Head. Axial plane. Slice 117/155.
FLAIR MR.
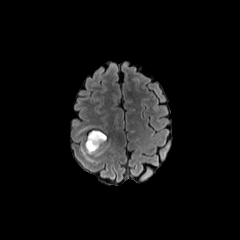
T1-weighted MR image.
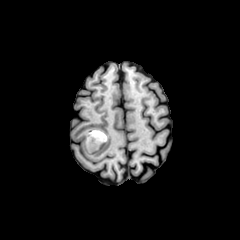
Post-contrast T1-weighted MR image.
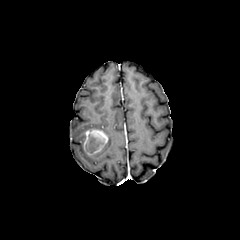
T2-weighted MR.
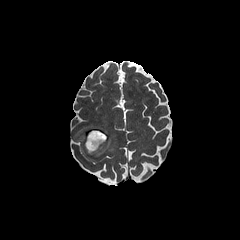
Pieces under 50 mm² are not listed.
enhancing tumor: bounding box <box>84,130,107,155</box>
peritumoral edema: bounding box <box>81,147,93,161</box>, <box>92,143,109,156</box>
necrotic tumor core: bounding box <box>88,135,102,152</box>